FLAIR magnetic resonance.
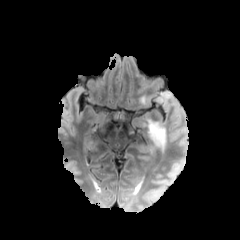
T1-weighted MR.
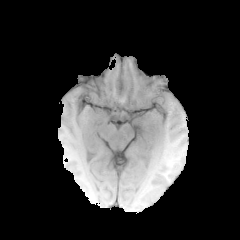
Post-contrast T1-weighted MR image.
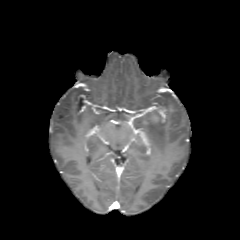
T2-weighted magnetic resonance.
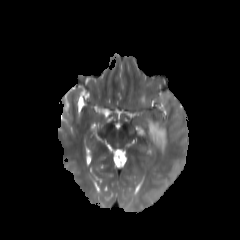
Head | 240x240 px
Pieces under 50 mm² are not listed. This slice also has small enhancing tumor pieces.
peritumoral edema: bounding box <bbox>158, 92, 171, 108</bbox>, <bbox>147, 119, 166, 152</bbox>